Brain. Axial slice. Image width 240 mm, 1.00 mm slice spacing. Slice index 128.
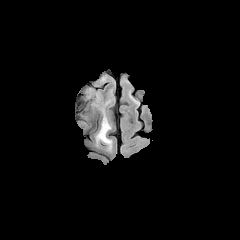
FLAIR magnetic resonance.
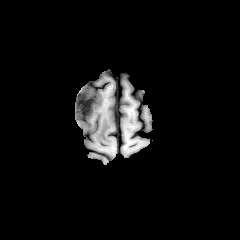
T1-weighted MR image.
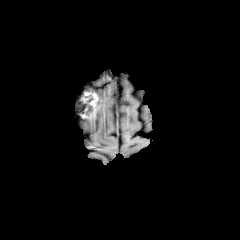
Post-contrast T1-weighted MR.
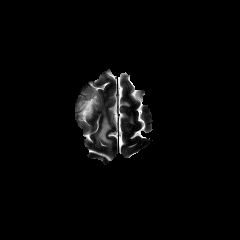
T2-weighted magnetic resonance.
necrotic tumor core at box(80, 98, 92, 113)
enhancing tumor at box(78, 90, 98, 118)
peritumoral edema at box(88, 76, 114, 152)